240x240, Axial view
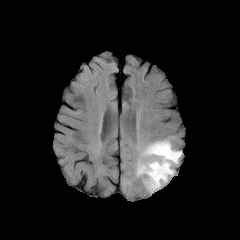
FLAIR MR image.
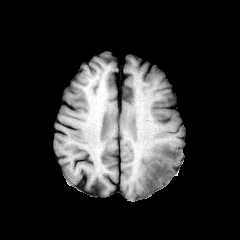
T1-weighted magnetic resonance.
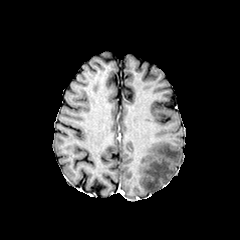
Post-contrast T1-weighted MRI.
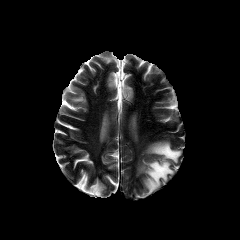
Same slice, T2-weighted MR.
{"peritumoral_edema": ["(137, 140, 182, 193)"]}